Axial plane. Slice 88 of 155.
FLAIR MR image.
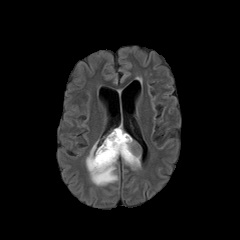
T1-weighted magnetic resonance.
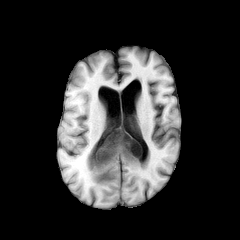
Post-contrast T1-weighted MRI.
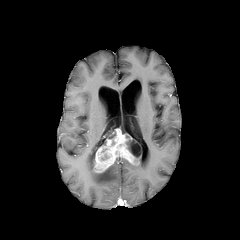
T2-weighted MR image.
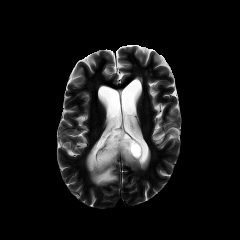
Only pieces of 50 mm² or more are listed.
enhancing tumor: 93:128:140:172
peritumoral edema: 86:140:118:185, 122:158:140:169
necrotic tumor core: 126:140:139:158